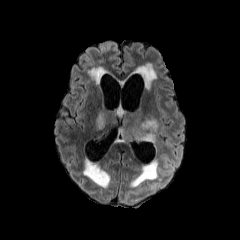
FLAIR MRI.
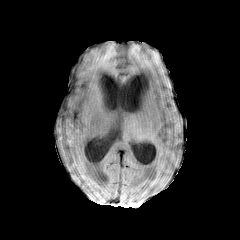
T1-weighted magnetic resonance of the same slice.
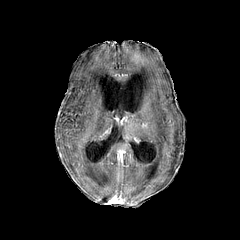
Same slice, post-contrast T1-weighted magnetic resonance.
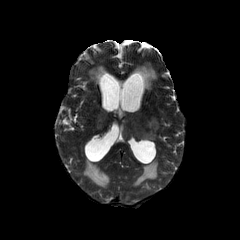
Same slice, T2-weighted MR.
Image size 240x240 | Head | Axial view
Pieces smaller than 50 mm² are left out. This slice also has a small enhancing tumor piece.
The peritumoral edema is located at 96:106:158:143.